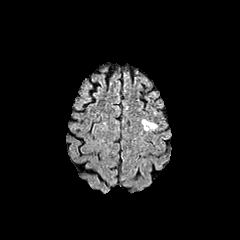
FLAIR MR.
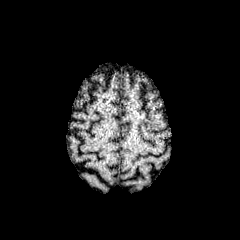
T1-weighted MR of the same slice.
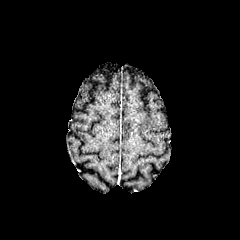
Post-contrast T1-weighted MRI.
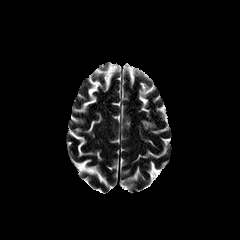
T2-weighted MR image.
* peritumoral edema: <bbox>141, 119, 157, 130</bbox>